Brain | 240x240 px
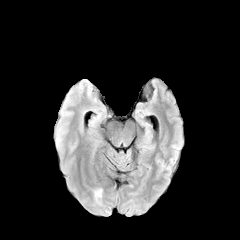
FLAIR MR image.
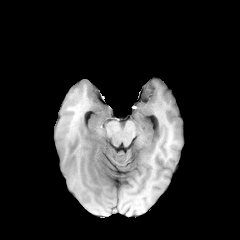
Same slice, T1-weighted MRI.
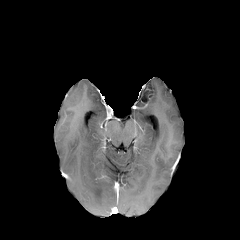
Post-contrast T1-weighted MR image.
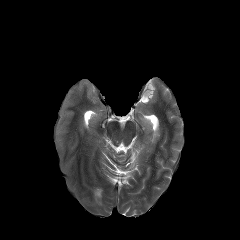
T2-weighted MR.
peritumoral edema at <bbox>95, 189, 101, 197</bbox>